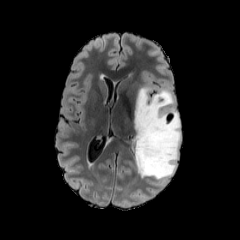
FLAIR magnetic resonance.
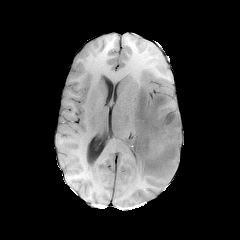
Same slice, T1-weighted MR.
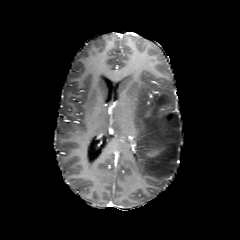
Post-contrast T1-weighted MR image.
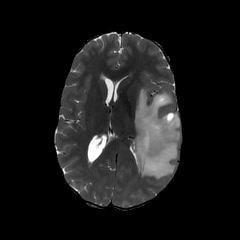
T2-weighted MR image.
Axial plane, 240x240 px, Brain
The enhancing tumor appears at 146,146,164,157. The peritumoral edema is located at 133,86,181,179.